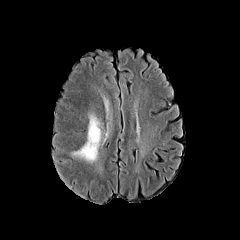
FLAIR magnetic resonance.
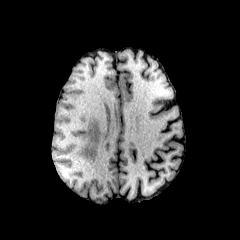
T1-weighted MRI.
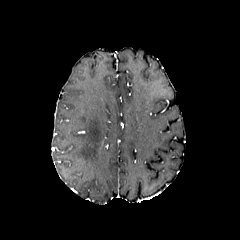
Same slice, post-contrast T1-weighted MR image.
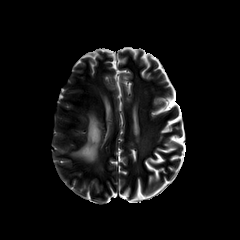
Same slice, T2-weighted MR.
Axial plane
The peritumoral edema appears at (x1=73, y1=115, x2=101, y2=161).